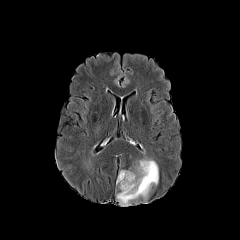
FLAIR MRI.
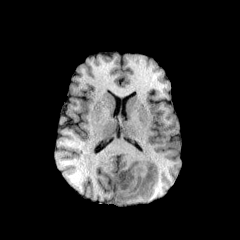
T1-weighted magnetic resonance of the same slice.
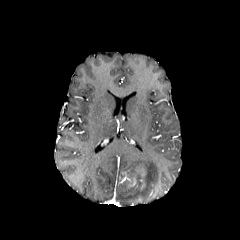
Post-contrast T1-weighted MR image.
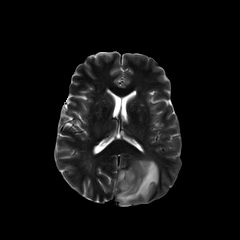
T2-weighted MRI of the same slice.
Head
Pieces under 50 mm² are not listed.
The peritumoral edema is bounded by left=116, top=158, right=158, bottom=206. The largest enhancing tumor region is at left=119, top=171, right=136, bottom=187.